Axial slice. Brain.
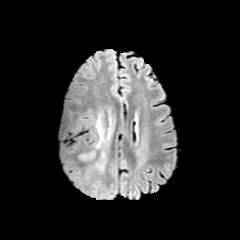
FLAIR magnetic resonance.
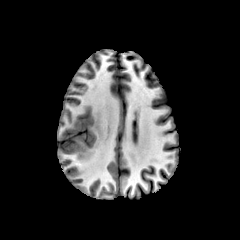
T1-weighted MR.
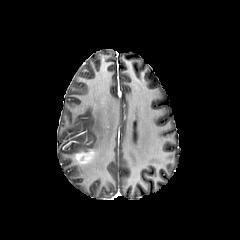
Post-contrast T1-weighted MR image.
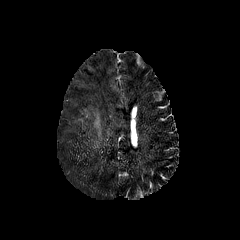
T2-weighted MR image.
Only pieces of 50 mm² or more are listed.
* peritumoral edema: (left=91, top=113, right=114, bottom=173)
* enhancing tumor: (left=76, top=151, right=94, bottom=163)